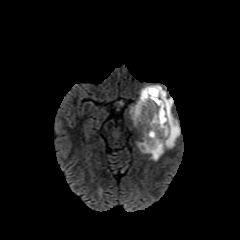
FLAIR MR.
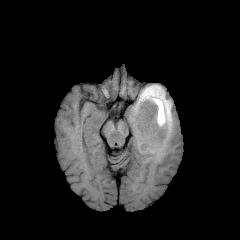
T1-weighted MRI.
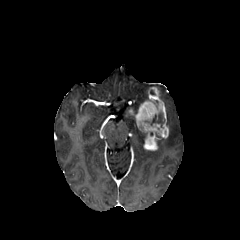
Post-contrast T1-weighted MR image.
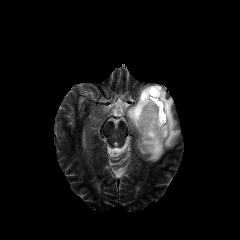
Same slice, T2-weighted MRI.
Head
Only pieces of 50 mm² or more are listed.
necrotic_tumor_core:
  - 151, 111, 164, 125
peritumoral_edema:
  - 127, 85, 180, 161
enhancing_tumor:
  - 128, 87, 168, 150